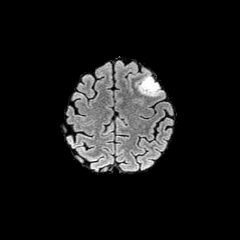
FLAIR MR image.
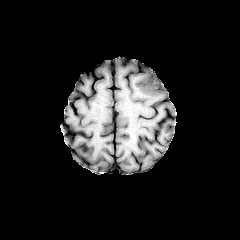
T1-weighted MR image.
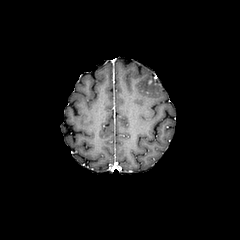
Post-contrast T1-weighted MR image.
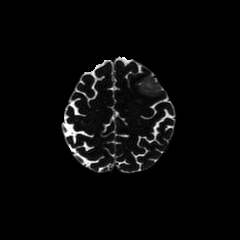
T2-weighted magnetic resonance.
Image size 240x240 | Brain
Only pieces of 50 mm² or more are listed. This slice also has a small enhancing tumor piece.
peritumoral edema — (138,74,162,96)